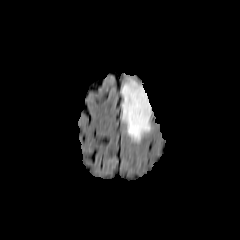
FLAIR MRI.
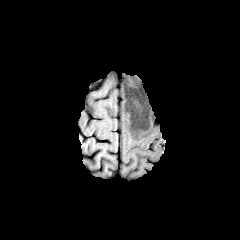
T1-weighted MR of the same slice.
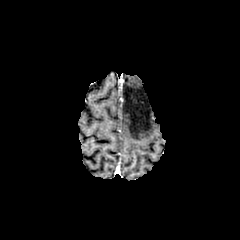
Post-contrast T1-weighted magnetic resonance.
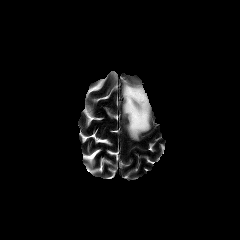
T2-weighted MR.
Brain.
peritumoral edema — bbox=[121, 79, 150, 141]